Image covers 240 mm x 240 mm | Brain | Slice 78/155
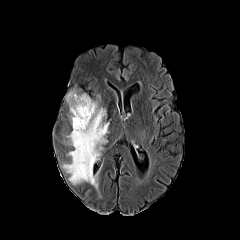
FLAIR magnetic resonance.
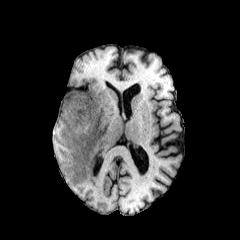
T1-weighted MR image.
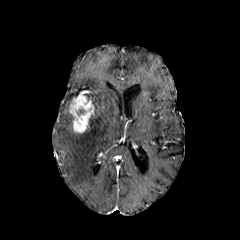
Post-contrast T1-weighted MRI.
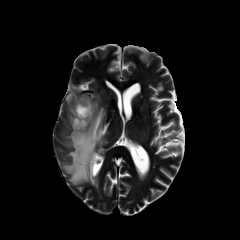
Same slice, T2-weighted MR.
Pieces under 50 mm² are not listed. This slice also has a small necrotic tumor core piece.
The 2 largest peritumoral edema regions appear at (66, 91, 77, 105), (63, 101, 109, 188). The enhancing tumor appears at (69, 92, 94, 133).